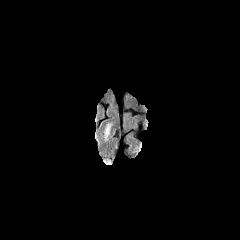
FLAIR magnetic resonance.
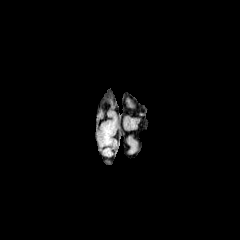
Same slice, T1-weighted MR.
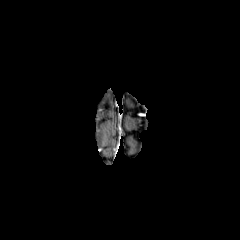
Same slice, post-contrast T1-weighted MRI.
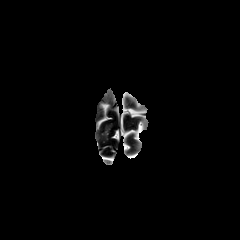
Same slice, T2-weighted MRI.
Head
peritumoral edema = (105, 125, 110, 138)